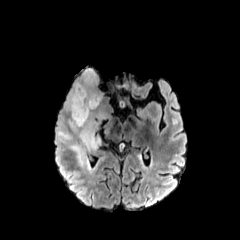
FLAIR MR image.
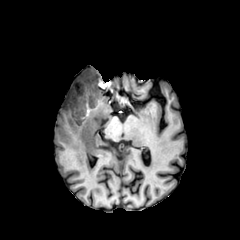
Same slice, T1-weighted MRI.
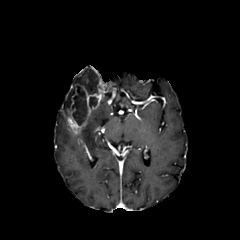
Post-contrast T1-weighted MRI of the same slice.
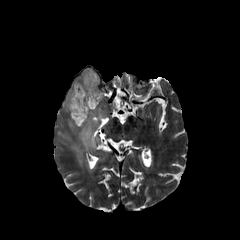
T2-weighted magnetic resonance.
Axial plane | Head
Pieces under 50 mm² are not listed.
Findings:
- peritumoral edema: [x1=63, y1=68, x2=99, y2=109], [x1=56, y1=107, x2=105, y2=167]
- enhancing tumor: [x1=61, y1=83, x2=103, y2=136]
- necrotic tumor core: [x1=89, y1=97, x2=97, y2=108], [x1=72, y1=86, x2=87, y2=125]